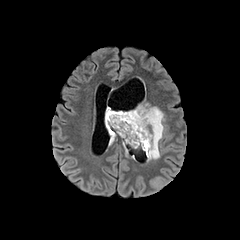
FLAIR MR.
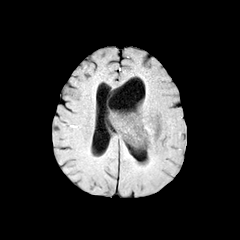
Same slice, T1-weighted MRI.
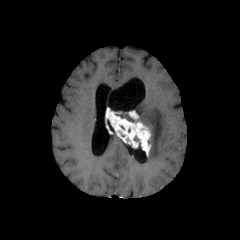
Post-contrast T1-weighted MRI.
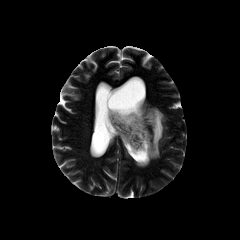
T2-weighted MR.
Brain, Axial view, Image size 240x240
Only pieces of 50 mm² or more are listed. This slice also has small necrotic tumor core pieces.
peritumoral edema at (134,103,165,160), (116,114,133,121), (109,135,116,145)
enhancing tumor at (105,107,151,156)